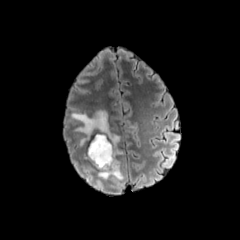
FLAIR MR image.
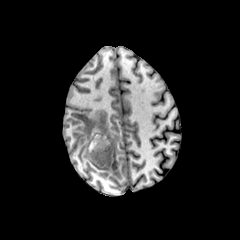
Same slice, T1-weighted magnetic resonance.
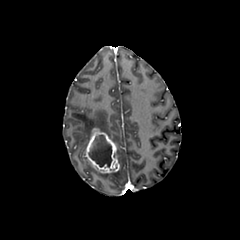
Post-contrast T1-weighted MR.
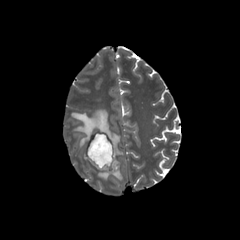
T2-weighted magnetic resonance of the same slice.
Image size 240x240, Axial slice, Brain
Segmented structures:
• necrotic tumor core: 89,135,111,167
• peritumoral edema: 71,109,123,156; 97,159,123,180
• enhancing tumor: 85,128,119,173